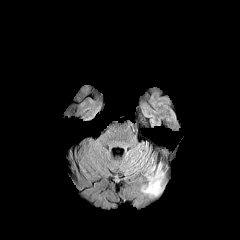
FLAIR MR.
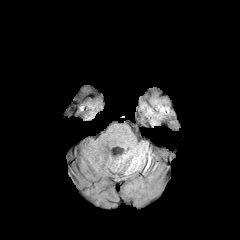
T1-weighted MR image.
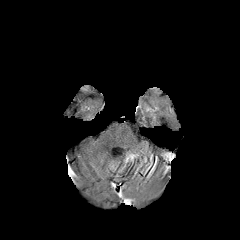
Same slice, post-contrast T1-weighted MR.
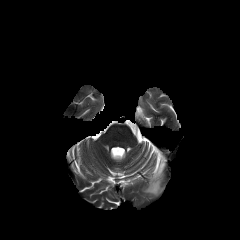
T2-weighted MR image.
Axial plane; Head
{"peritumoral_edema": ["box(142, 163, 163, 195)"]}